Axial view, Head, 240x240
FLAIR magnetic resonance.
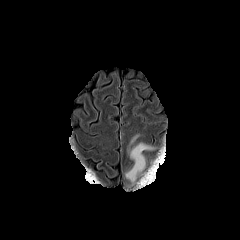
T1-weighted MR.
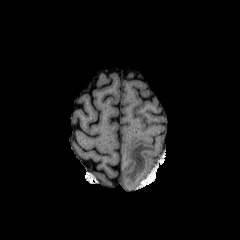
Post-contrast T1-weighted MR image.
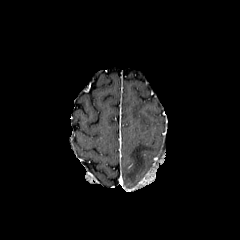
T2-weighted magnetic resonance.
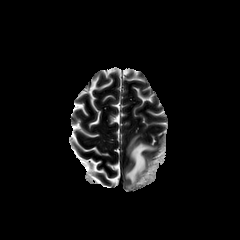
peritumoral edema at <bbox>125, 133, 158, 185</bbox>